Image width 240 mm, Slice index 86, Image size 240x240, Brain
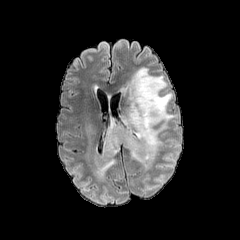
FLAIR magnetic resonance.
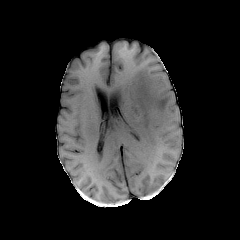
Same slice, T1-weighted magnetic resonance.
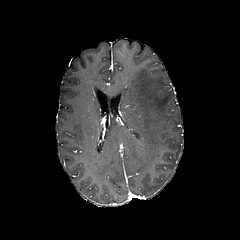
Same slice, post-contrast T1-weighted MR image.
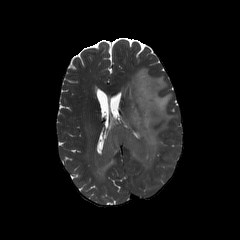
Same slice, T2-weighted magnetic resonance.
* peritumoral edema: 95,67,176,178